Image width 240 mm, Head, Slice index 55
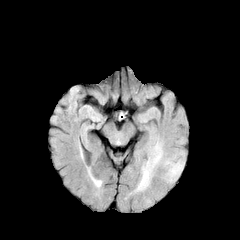
FLAIR MR image.
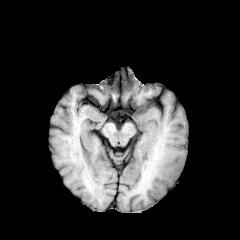
T1-weighted MR image.
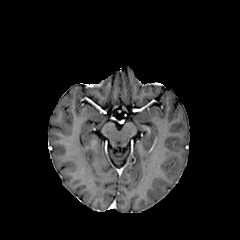
Post-contrast T1-weighted magnetic resonance.
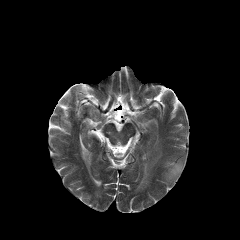
T2-weighted MR image.
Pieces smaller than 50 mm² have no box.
The 2 largest peritumoral edema regions appear at rect(139, 163, 150, 187); rect(166, 161, 182, 180).